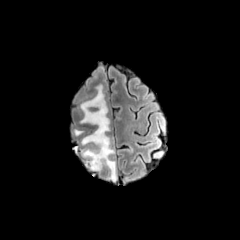
FLAIR magnetic resonance.
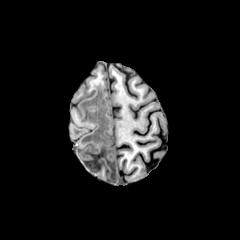
T1-weighted MR of the same slice.
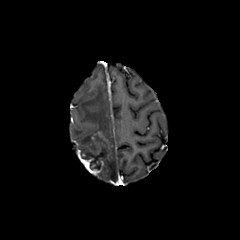
Post-contrast T1-weighted MR of the same slice.
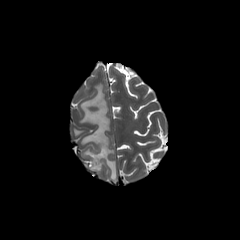
T2-weighted MRI.
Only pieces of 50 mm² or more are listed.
necrotic tumor core at [81,147,106,169]
enhancing tumor at [77,131,108,174]
peritumoral edema at [74,85,116,180]